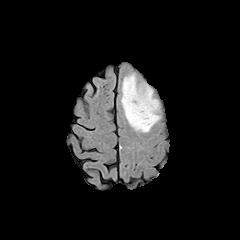
FLAIR magnetic resonance.
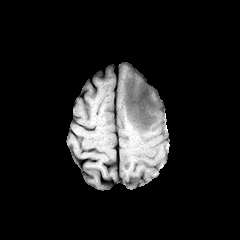
T1-weighted magnetic resonance.
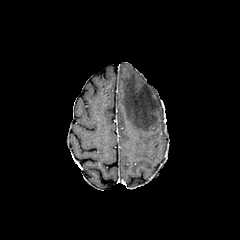
Post-contrast T1-weighted magnetic resonance of the same slice.
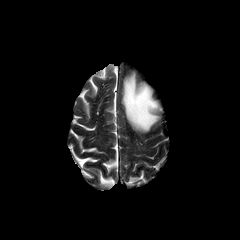
Same slice, T2-weighted MRI.
Annotated regions:
• peritumoral edema: bbox(121, 73, 160, 132)